FLAIR MRI.
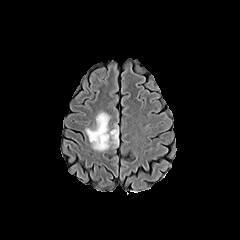
T1-weighted MR.
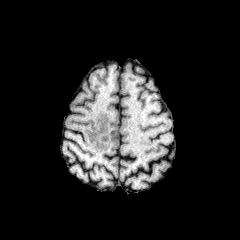
Post-contrast T1-weighted MRI.
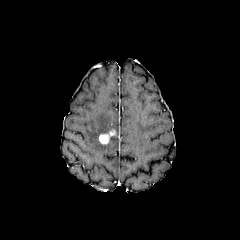
T2-weighted magnetic resonance.
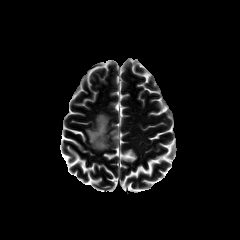
240x240 px; Axial plane
The peritumoral edema is at <box>85,112,118,150</box>. The enhancing tumor lies within <box>99,130,115,144</box>.